Image size 240x240 | Head
FLAIR MR image.
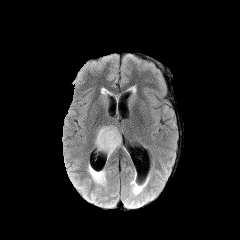
T1-weighted MR image.
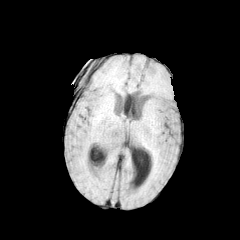
Post-contrast T1-weighted MR.
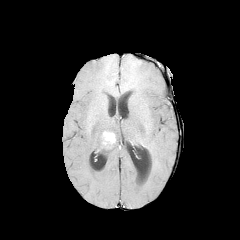
T2-weighted magnetic resonance.
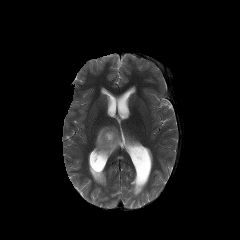
peritumoral edema: [95,126,121,157] | enhancing tumor: [102,131,115,144]